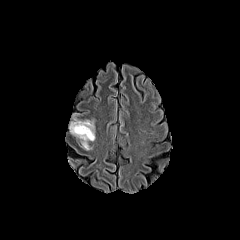
FLAIR MR.
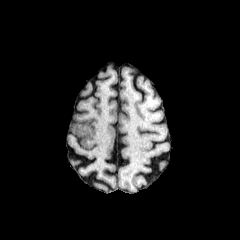
T1-weighted MRI.
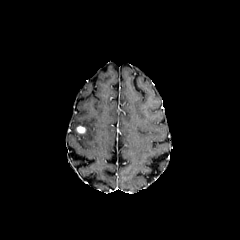
Post-contrast T1-weighted MR.
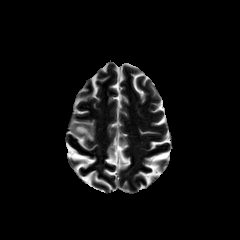
Same slice, T2-weighted MR image.
Axial view; Head
<segmentation>
  <peritumoral_edema>x1=70, y1=118, x2=95, y2=150</peritumoral_edema>
  <enhancing_tumor>x1=76, y1=125, x2=86, y2=133</enhancing_tumor>
</segmentation>